Slice 76 of 155; Brain; Axial plane
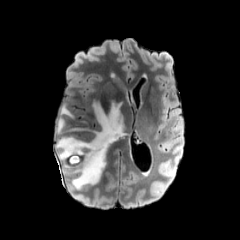
FLAIR MRI.
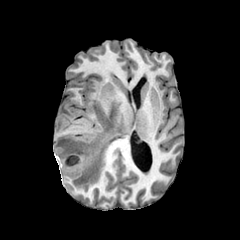
T1-weighted MRI.
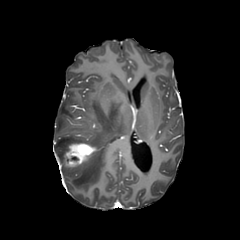
Post-contrast T1-weighted MRI.
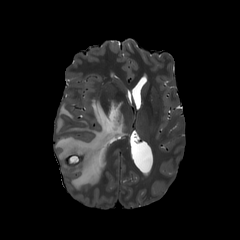
Same slice, T2-weighted MRI.
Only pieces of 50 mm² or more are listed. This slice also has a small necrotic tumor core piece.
Findings:
* enhancing tumor: 64:143:96:166
* peritumoral edema: 61:106:73:117, 56:117:65:134, 55:101:124:189